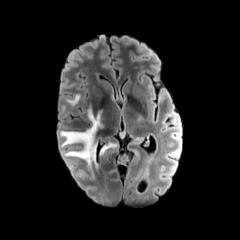
FLAIR magnetic resonance.
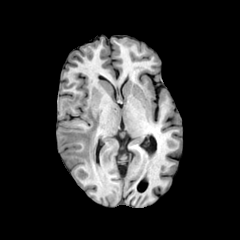
Same slice, T1-weighted MRI.
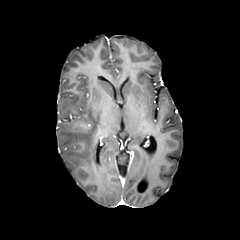
Post-contrast T1-weighted magnetic resonance of the same slice.
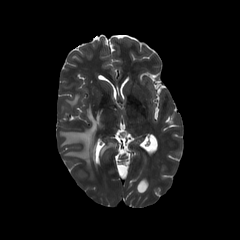
T2-weighted MRI.
240x240.
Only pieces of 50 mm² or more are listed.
<segmentation>
  <peritumoral_edema>{"x1": 101, "y1": 143, "x2": 116, "y2": 153}, {"x1": 66, "y1": 94, "x2": 80, "y2": 106}, {"x1": 60, "y1": 104, "x2": 103, "y2": 165}</peritumoral_edema>
</segmentation>